FLAIR magnetic resonance.
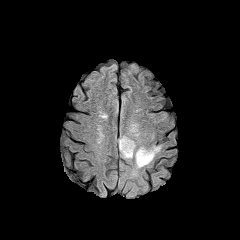
T1-weighted MR.
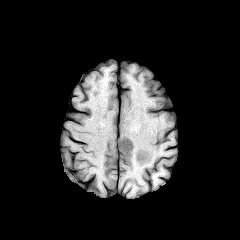
Post-contrast T1-weighted MR.
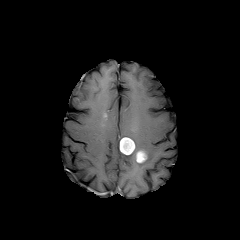
T2-weighted MR image.
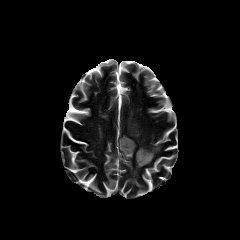
Head; 240x240
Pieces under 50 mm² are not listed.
The 2 largest enhancing tumor regions are bounded by (x1=136, y1=150, x2=146, y2=162), (x1=119, y1=137, x2=135, y2=154). The 2 largest peritumoral edema regions are bounded by (x1=120, y1=145, x2=161, y2=168), (x1=129, y1=124, x2=139, y2=136).